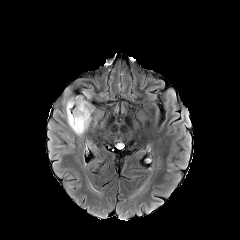
FLAIR MRI.
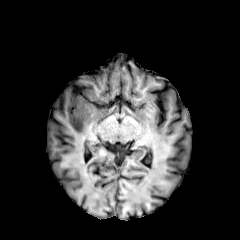
T1-weighted MR.
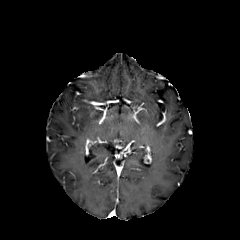
Post-contrast T1-weighted MRI.
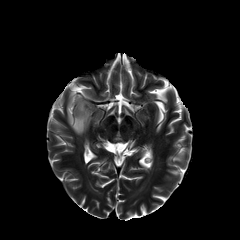
T2-weighted MR of the same slice.
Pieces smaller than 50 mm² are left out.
peritumoral edema at rect(66, 96, 93, 135)